Image covers 240 mm x 240 mm
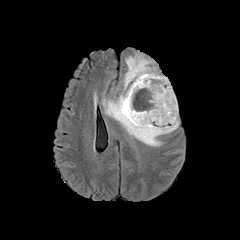
FLAIR MR.
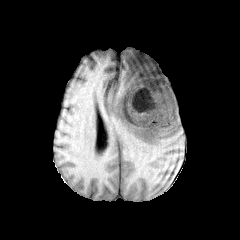
T1-weighted magnetic resonance.
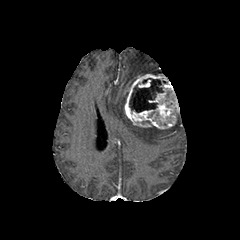
Post-contrast T1-weighted MR image.
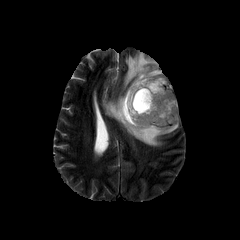
T2-weighted MR.
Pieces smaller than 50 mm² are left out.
The largest necrotic tumor core region is bounded by 129 78 163 112. The enhancing tumor is at 124 73 178 129. The peritumoral edema is at 102 52 179 146.